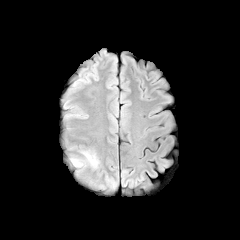
FLAIR MR.
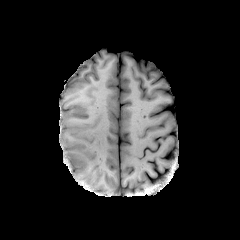
T1-weighted MR image.
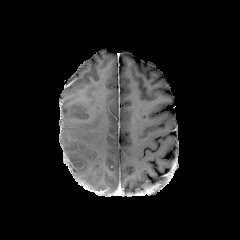
Post-contrast T1-weighted MR.
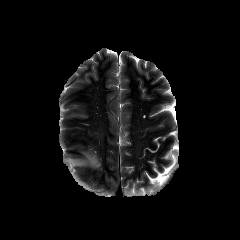
T2-weighted magnetic resonance.
Axial view. 240x240 px. Brain.
peritumoral edema: [71,152,98,166]